FLAIR MR.
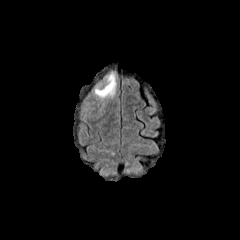
T1-weighted magnetic resonance.
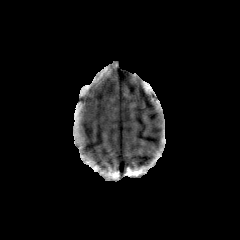
Post-contrast T1-weighted MRI.
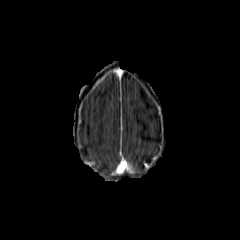
T2-weighted MR image.
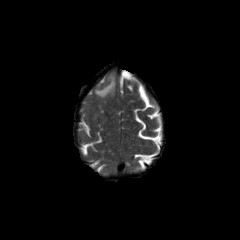
240x240. Head.
<segmentation>
  <peritumoral_edema>bbox=[94, 73, 115, 98]</peritumoral_edema>
</segmentation>